Slice 63/155; Axial slice
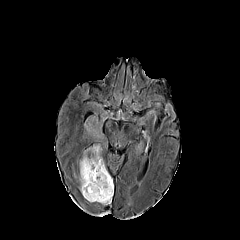
FLAIR MRI.
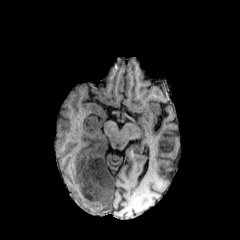
T1-weighted MR image.
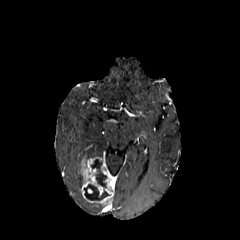
Post-contrast T1-weighted MR of the same slice.
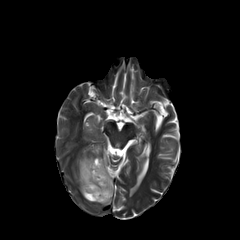
T2-weighted MR.
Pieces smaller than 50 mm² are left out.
Segmented structures:
• enhancing tumor: x1=80, y1=156, x2=113, y2=204
• necrotic tumor core: x1=91, y1=159, x2=106, y2=187; x1=84, y1=184, x2=109, y2=200
• peritumoral edema: x1=89, y1=145, x2=101, y2=156